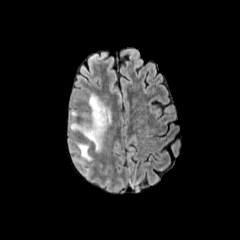
FLAIR MR.
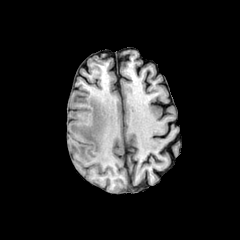
T1-weighted MRI.
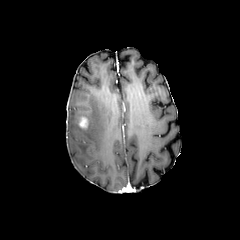
Post-contrast T1-weighted magnetic resonance.
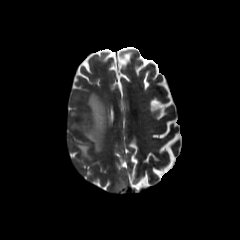
T2-weighted MR.
Axial slice, Head
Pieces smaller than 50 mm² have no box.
enhancing tumor — left=78, top=115, right=88, bottom=129
peritumoral edema — left=70, top=93, right=112, bottom=152; left=70, top=139, right=89, bottom=157